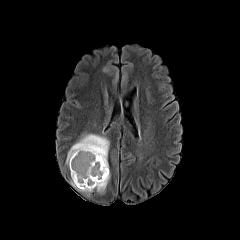
FLAIR MR.
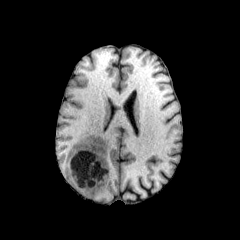
T1-weighted MRI.
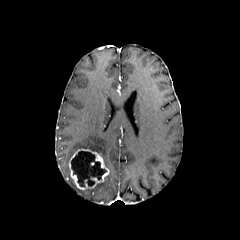
Post-contrast T1-weighted MRI.
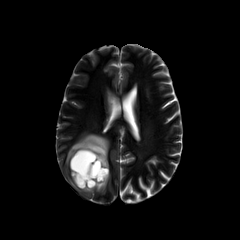
T2-weighted magnetic resonance of the same slice.
Image size 240x240 | Axial plane
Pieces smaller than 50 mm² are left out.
peritumoral edema = (66,134,109,168), (94,173,110,192), (77,188,93,194)
enhancing tumor = (69,149,109,189)
necrotic tumor core = (71,151,106,186)